Axial view. 240x240 px. Image width 240 mm, 1.00 mm slice spacing. Head. Slice index 87.
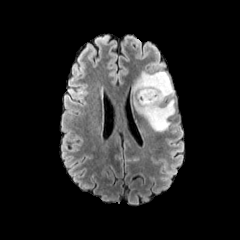
FLAIR MRI.
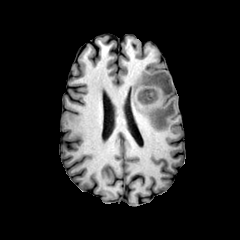
T1-weighted magnetic resonance of the same slice.
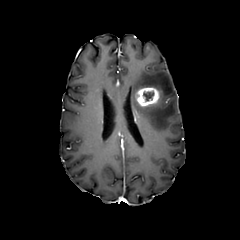
Post-contrast T1-weighted magnetic resonance.
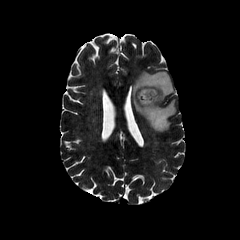
T2-weighted MR image.
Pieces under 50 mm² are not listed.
{
  "enhancing_tumor": [
    "(136,87,160,106)"
  ],
  "peritumoral_edema": [
    "(132,71,175,131)"
  ],
  "necrotic_tumor_core": [
    "(141,90,154,103)"
  ]
}